Slice 118 of 155; 240x240
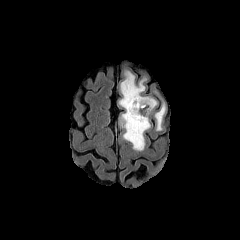
FLAIR MR.
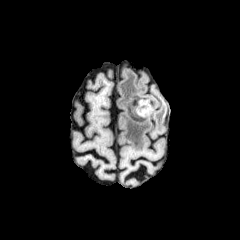
T1-weighted MRI.
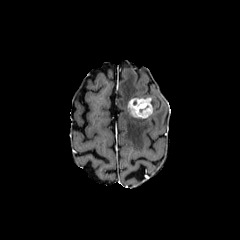
Post-contrast T1-weighted magnetic resonance of the same slice.
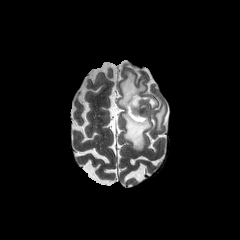
T2-weighted MR image.
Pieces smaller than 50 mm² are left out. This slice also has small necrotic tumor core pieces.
The 2 largest peritumoral edema regions appear at (155,105,165,130), (119,71,150,150). The enhancing tumor is located at (127,97,152,119).